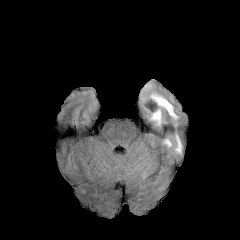
FLAIR MR image.
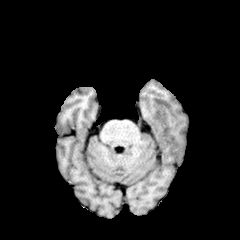
T1-weighted magnetic resonance.
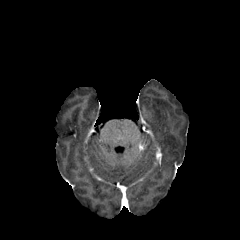
Post-contrast T1-weighted MRI.
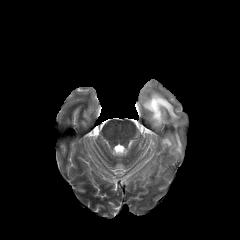
T2-weighted MRI.
240x240.
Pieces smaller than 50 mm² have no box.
peritumoral edema: l=150, t=93, r=178, b=126; l=163, t=138, r=172, b=147; l=174, t=134, r=181, b=154